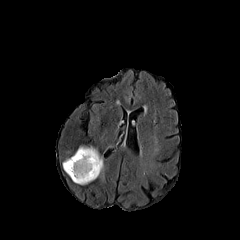
FLAIR MR image.
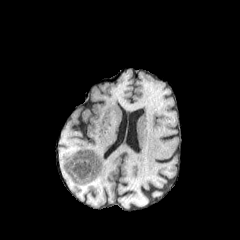
Same slice, T1-weighted MRI.
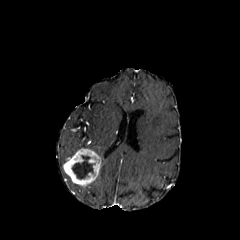
Post-contrast T1-weighted MR.
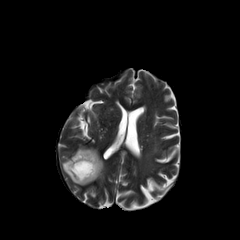
T2-weighted MR.
Image size 240x240, Axial slice
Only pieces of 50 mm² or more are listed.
The largest peritumoral edema region is bounded by 98 157 104 178. The necrotic tumor core is located at 72 155 95 178. The enhancing tumor is located at 62 148 101 185.